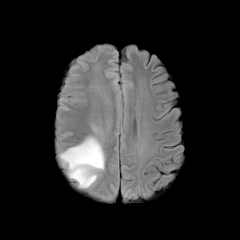
FLAIR magnetic resonance.
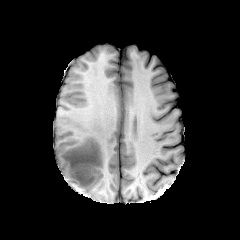
T1-weighted magnetic resonance.
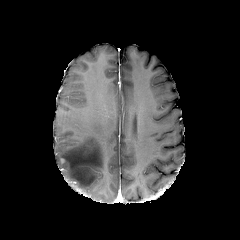
Post-contrast T1-weighted MR image of the same slice.
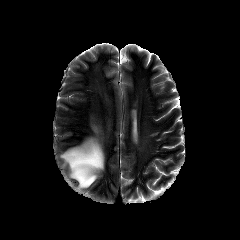
T2-weighted MR.
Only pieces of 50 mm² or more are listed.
<segmentation>
  <peritumoral_edema>l=59, t=136, r=104, b=188</peritumoral_edema>
</segmentation>